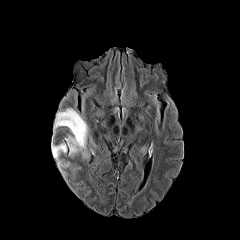
FLAIR MR.
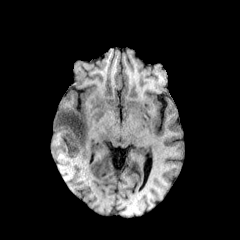
T1-weighted MRI.
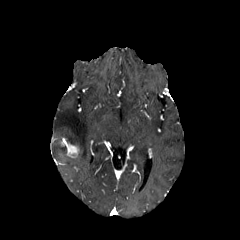
Post-contrast T1-weighted MR.
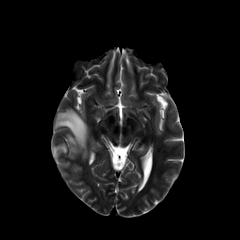
T2-weighted MR image of the same slice.
Axial plane | Head
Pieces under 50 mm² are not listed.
The largest enhancing tumor region is bounded by bbox(67, 143, 79, 156). The 2 largest peritumoral edema regions are bounded by bbox(52, 144, 67, 159); bbox(54, 108, 88, 158).